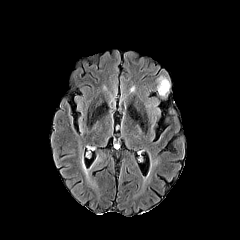
FLAIR MRI.
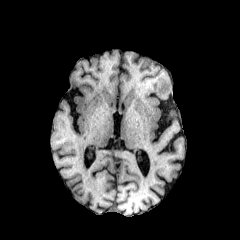
T1-weighted magnetic resonance.
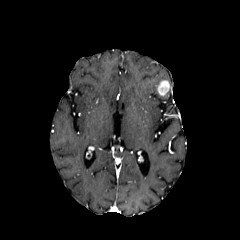
Same slice, post-contrast T1-weighted MR.
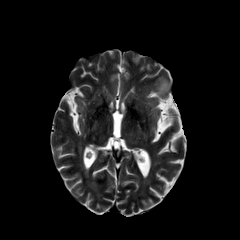
Same slice, T2-weighted MR.
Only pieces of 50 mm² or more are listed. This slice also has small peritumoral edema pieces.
* enhancing tumor: left=157, top=80, right=170, bottom=95